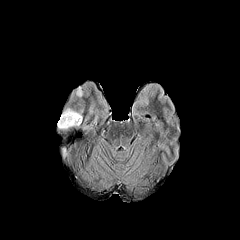
FLAIR MR.
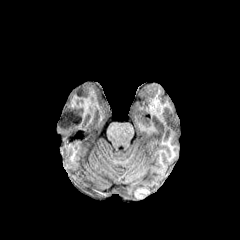
T1-weighted magnetic resonance.
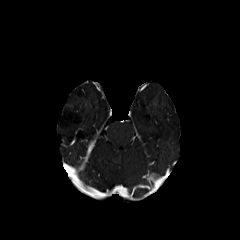
Post-contrast T1-weighted MR image.
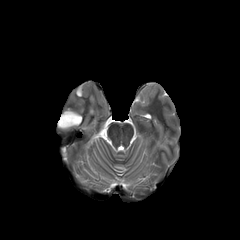
Same slice, T2-weighted MR image.
Head.
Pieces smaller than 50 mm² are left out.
peritumoral edema: (x1=76, y1=87, x2=82, y2=96), (x1=58, y1=108, x2=82, y2=129)